Image size 240x240
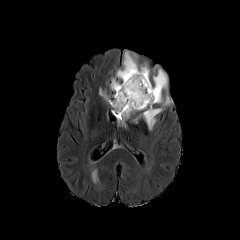
FLAIR magnetic resonance.
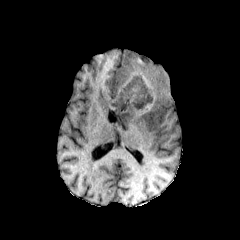
T1-weighted MR image.
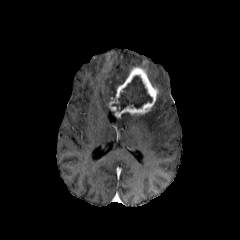
Post-contrast T1-weighted magnetic resonance of the same slice.
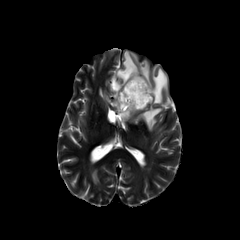
Same slice, T2-weighted MR image.
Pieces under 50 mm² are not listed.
The largest enhancing tumor region appears at bbox(109, 66, 159, 114). The necrotic tumor core appears at bbox(112, 76, 152, 111). 5 peritumoral edema regions are located at bbox(110, 51, 150, 97); bbox(122, 113, 131, 124); bbox(99, 89, 111, 102); bbox(152, 66, 172, 106); bbox(133, 108, 162, 130).